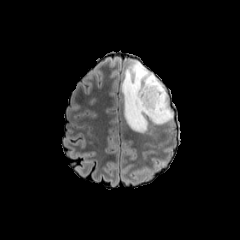
FLAIR MRI.
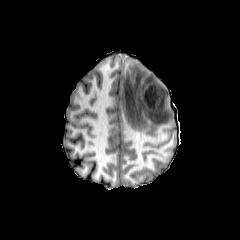
T1-weighted MRI of the same slice.
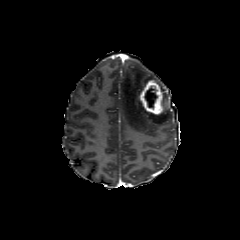
Post-contrast T1-weighted magnetic resonance of the same slice.
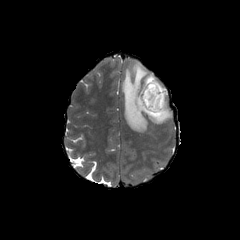
T2-weighted MR image of the same slice.
Brain | Axial slice
Findings:
- necrotic tumor core: left=145, top=86, right=157, bottom=107
- enhancing tumor: left=138, top=79, right=163, bottom=115
- peritumoral edema: left=121, top=61, right=173, bottom=132